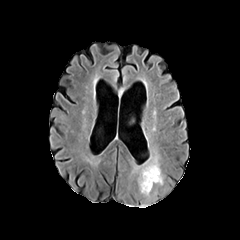
FLAIR MR.
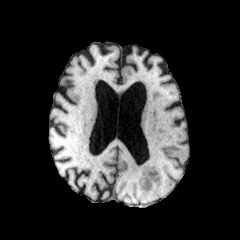
Same slice, T1-weighted MRI.
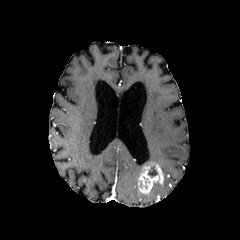
Post-contrast T1-weighted MR image.
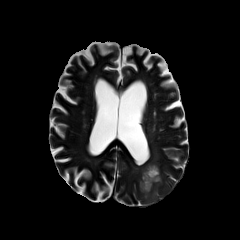
T2-weighted MR image of the same slice.
Brain.
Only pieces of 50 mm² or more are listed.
{
  "peritumoral_edema": [
    "region(129, 165, 144, 179)",
    "region(150, 149, 161, 164)"
  ],
  "enhancing_tumor": [
    "region(138, 161, 163, 193)"
  ],
  "necrotic_tumor_core": [
    "region(148, 166, 157, 177)"
  ]
}